FLAIR MRI.
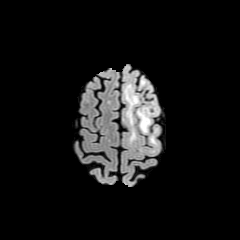
T1-weighted MR image.
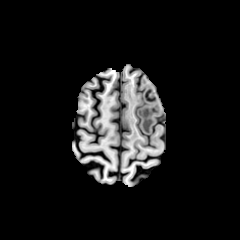
Post-contrast T1-weighted MR image.
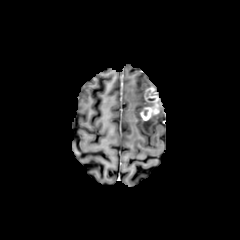
T2-weighted MR.
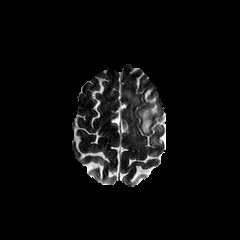
Head.
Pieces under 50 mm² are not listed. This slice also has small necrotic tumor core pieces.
The 3 largest peritumoral edema regions appear at bbox=[137, 102, 152, 133]; bbox=[150, 136, 157, 145]; bbox=[124, 84, 140, 125]. The enhancing tumor lies within bbox=[140, 86, 159, 120].